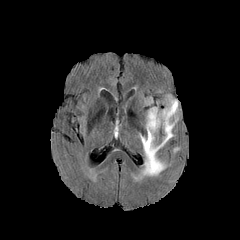
FLAIR magnetic resonance.
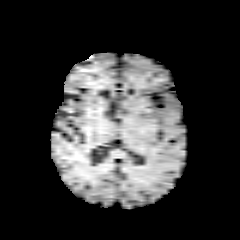
T1-weighted MRI.
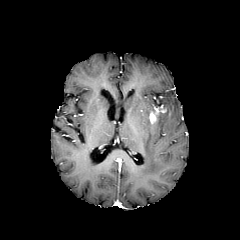
Post-contrast T1-weighted MR image.
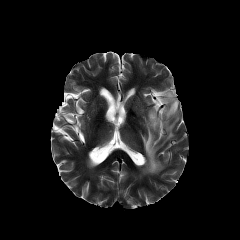
Same slice, T2-weighted MR.
Axial slice
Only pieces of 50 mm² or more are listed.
peritumoral edema at 140,94,178,175
enhancing tumor at 149,107,166,124